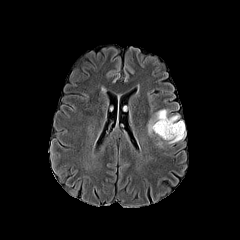
FLAIR MR image.
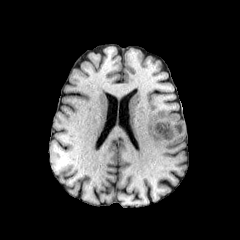
T1-weighted MRI.
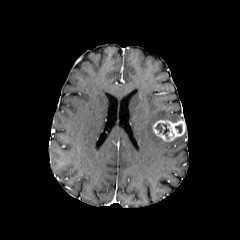
Post-contrast T1-weighted MR.
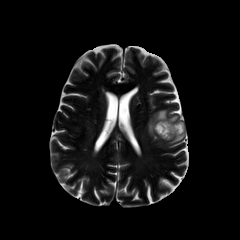
T2-weighted MRI of the same slice.
Brain, Axial view, 240x240
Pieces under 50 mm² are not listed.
peritumoral edema: bbox(166, 132, 185, 143); bbox(148, 109, 179, 136) | necrotic tumor core: bbox(162, 124, 169, 138) | enhancing tumor: bbox(152, 120, 185, 141)